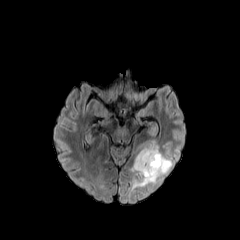
FLAIR MR.
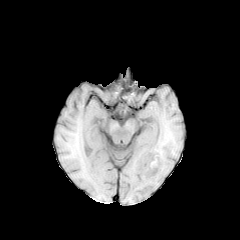
T1-weighted magnetic resonance of the same slice.
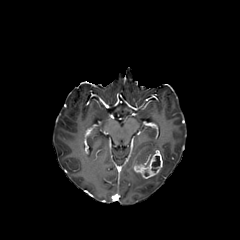
Same slice, post-contrast T1-weighted MR image.
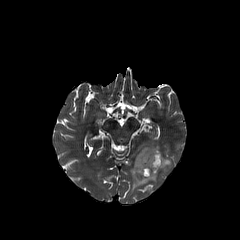
T2-weighted MR image of the same slice.
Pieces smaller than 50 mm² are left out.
enhancing tumor: [134,150,163,178] | peritumoral edema: [130,142,173,190] | necrotic tumor core: [152,156,160,167]